Head
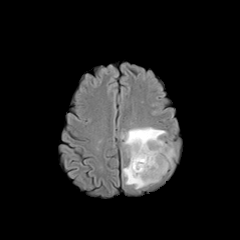
FLAIR MR image.
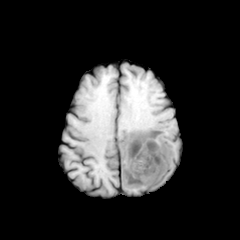
T1-weighted MR.
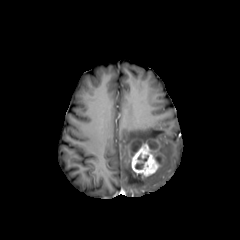
Same slice, post-contrast T1-weighted magnetic resonance.
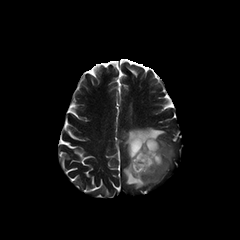
T2-weighted MR.
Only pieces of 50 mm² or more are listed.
{"peritumoral_edema": ["(122,127,166,155)", "(122,139,175,189)"], "necrotic_tumor_core": ["(131,141,141,155)", "(148,141,158,149)"], "enhancing_tumor": ["(128,138,165,176)"]}